FLAIR MR image.
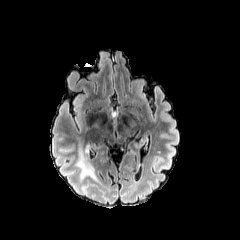
T1-weighted MR.
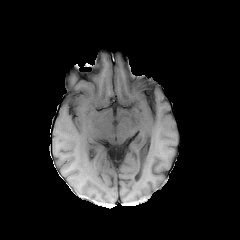
Post-contrast T1-weighted MRI.
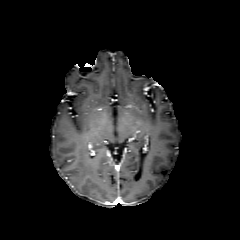
T2-weighted MR.
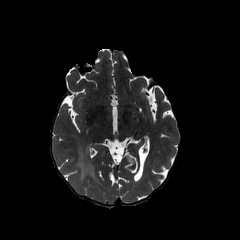
Axial view. Brain.
* peritumoral edema: [77,145,99,182]